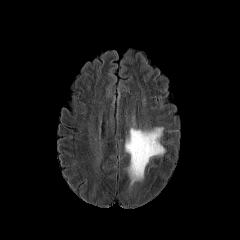
FLAIR magnetic resonance.
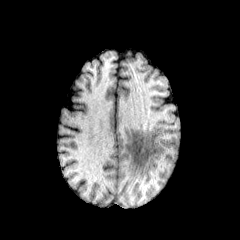
T1-weighted magnetic resonance.
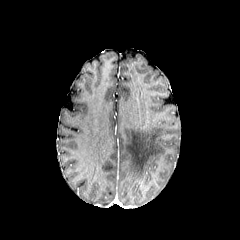
Same slice, post-contrast T1-weighted MRI.
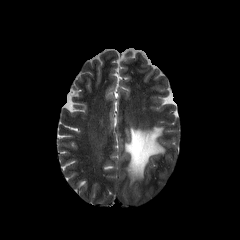
Same slice, T2-weighted MRI.
Brain, 240x240 px
<segmentation>
  <peritumoral_edema>bbox=[125, 127, 165, 184]</peritumoral_edema>
</segmentation>